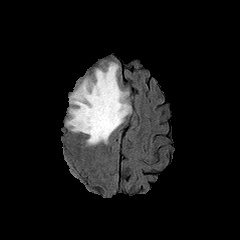
FLAIR magnetic resonance.
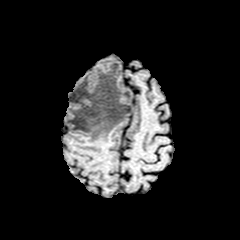
T1-weighted magnetic resonance.
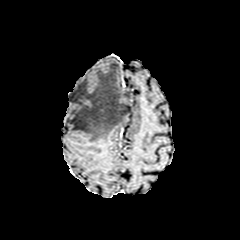
Post-contrast T1-weighted MR.
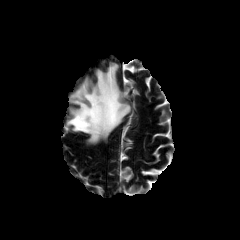
T2-weighted MR.
240x240
The peritumoral edema is at bbox=[66, 62, 131, 144].